Axial plane, Image covers 240 mm x 240 mm, Slice 58/155, Head
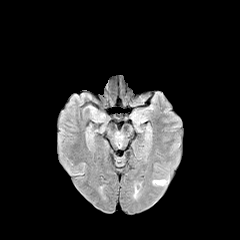
FLAIR MR image.
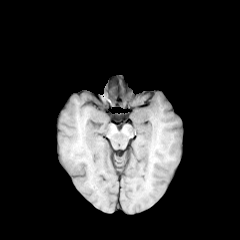
T1-weighted MR of the same slice.
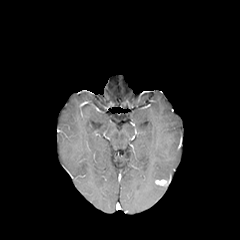
Post-contrast T1-weighted MRI of the same slice.
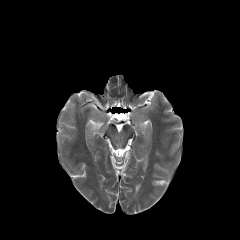
T2-weighted MR.
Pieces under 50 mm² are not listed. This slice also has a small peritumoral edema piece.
The enhancing tumor lies within bbox=[153, 179, 167, 186].